Brain
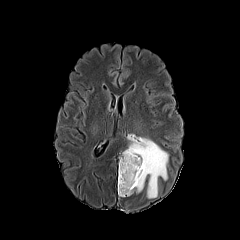
FLAIR MR image.
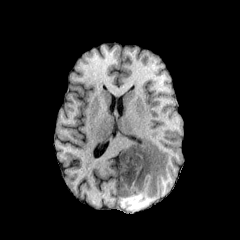
T1-weighted MR.
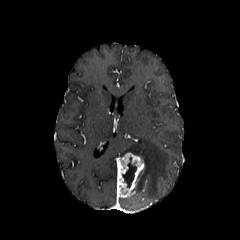
Post-contrast T1-weighted MR image of the same slice.
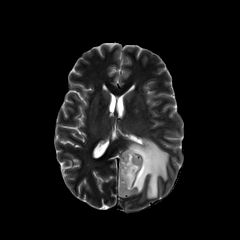
Same slice, T2-weighted MR image.
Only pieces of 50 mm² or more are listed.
necrotic_tumor_core:
  - (122, 157, 136, 188)
peritumoral_edema:
  - (122, 137, 168, 198)
enhancing_tumor:
  - (117, 152, 144, 197)